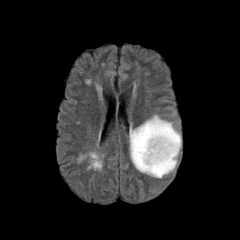
FLAIR MRI.
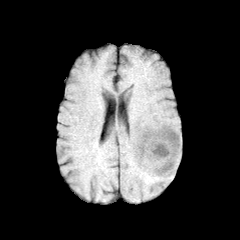
T1-weighted MR image.
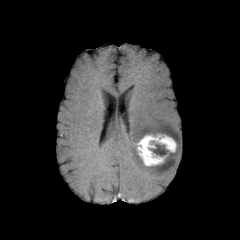
Same slice, post-contrast T1-weighted magnetic resonance.
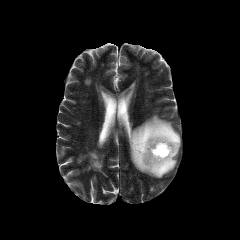
T2-weighted magnetic resonance of the same slice.
Image size 240x240; Axial slice
The enhancing tumor is at <box>135,133,177,166</box>. The peritumoral edema is at <box>129,115,181,178</box>. The necrotic tumor core is bounded by <box>150,144,168,155</box>.